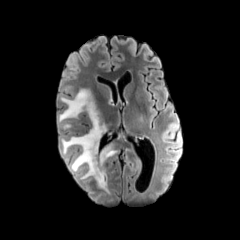
FLAIR MRI.
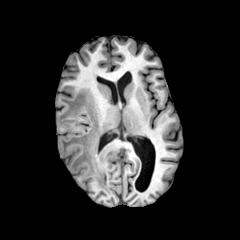
T1-weighted MR of the same slice.
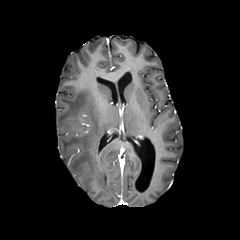
Post-contrast T1-weighted MR image.
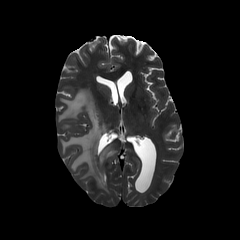
T2-weighted magnetic resonance of the same slice.
Brain. Image size 240x240.
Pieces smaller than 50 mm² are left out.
peritumoral edema = {"x1": 100, "y1": 143, "x2": 115, "y2": 165}, {"x1": 59, "y1": 89, "x2": 108, "y2": 192}